FLAIR magnetic resonance.
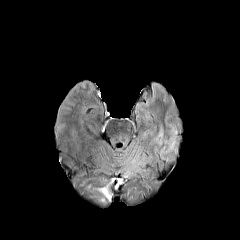
T1-weighted MR image.
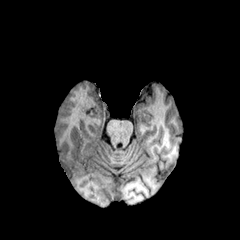
Post-contrast T1-weighted MR.
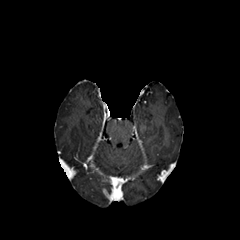
T2-weighted MR.
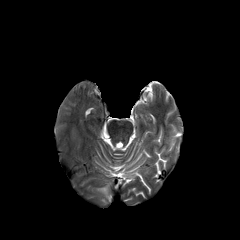
240x240 | Brain | Axial plane
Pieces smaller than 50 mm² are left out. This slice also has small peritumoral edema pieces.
- enhancing tumor: l=102, t=188, r=113, b=200